Image width 240 mm
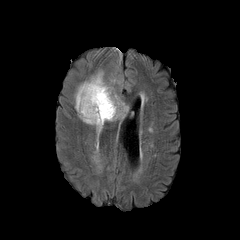
FLAIR MR image.
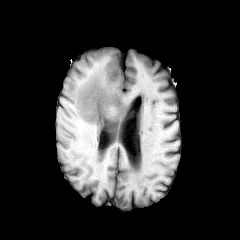
T1-weighted MRI.
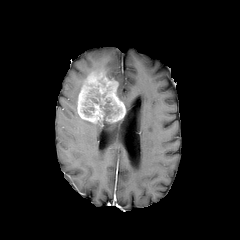
Same slice, post-contrast T1-weighted MRI.
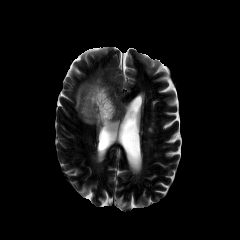
T2-weighted magnetic resonance.
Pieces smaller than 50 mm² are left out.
peritumoral edema: bbox=[74, 83, 83, 110] | necrotic tumor core: bbox=[103, 99, 113, 119] | enhancing tumor: bbox=[77, 71, 126, 126]